Image size 240x240 | Head
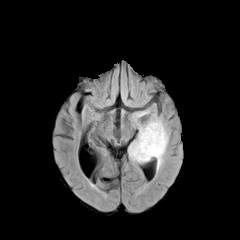
FLAIR MRI.
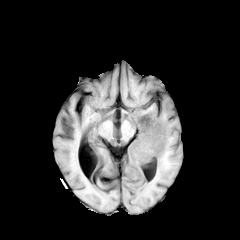
T1-weighted MR of the same slice.
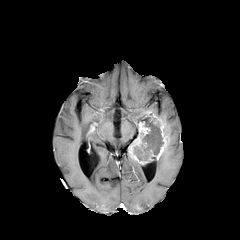
Post-contrast T1-weighted magnetic resonance.
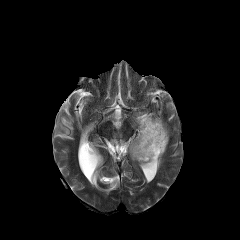
T2-weighted MR image of the same slice.
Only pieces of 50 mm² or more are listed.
Findings:
- enhancing tumor: (128,122,150,163), (149,114,168,160)
- necrotic tumor core: (134,113,163,160)
- peritumoral edema: (131,110,149,138)